Image width 240 mm, 1.00 mm slice spacing. Slice index 102.
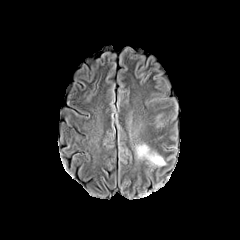
FLAIR MR.
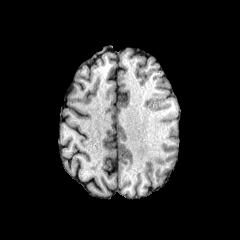
T1-weighted MR image.
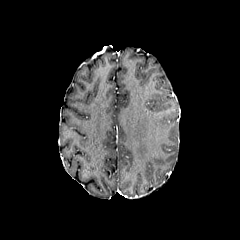
Post-contrast T1-weighted MR image.
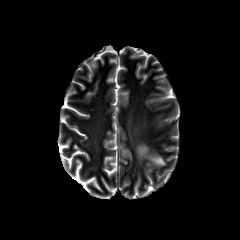
T2-weighted MR.
peritumoral edema: bounding box <bbox>137, 145, 164, 165</bbox>